Image size 240x240
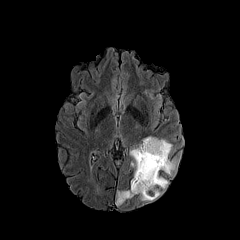
FLAIR magnetic resonance.
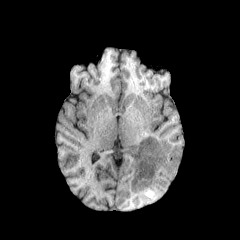
T1-weighted magnetic resonance.
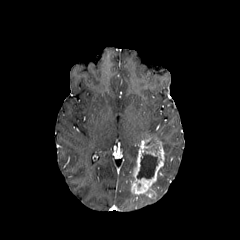
Post-contrast T1-weighted magnetic resonance.
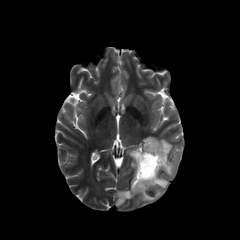
T2-weighted magnetic resonance.
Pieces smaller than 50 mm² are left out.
peritumoral edema — box=[140, 176, 168, 201]; box=[130, 148, 138, 167]; box=[159, 139, 176, 175]; box=[116, 190, 134, 205]
enhancing tumor — box=[130, 137, 164, 194]
necrotic tumor core — box=[137, 152, 157, 178]